FLAIR MRI.
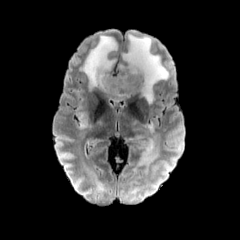
T1-weighted MR image.
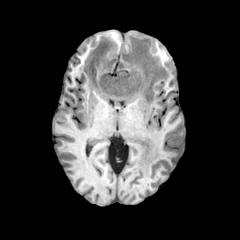
Post-contrast T1-weighted magnetic resonance.
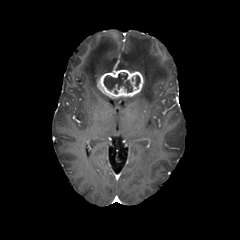
T2-weighted magnetic resonance.
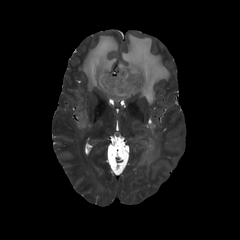
Brain. 240x240 px.
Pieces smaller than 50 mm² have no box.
peritumoral edema = box=[75, 112, 89, 129]; box=[118, 34, 169, 103]; box=[148, 121, 153, 133]; box=[138, 134, 158, 167]; box=[80, 35, 117, 90]
enhancing tumor = box=[97, 69, 143, 98]
necrotic tumor core = box=[104, 72, 132, 92]